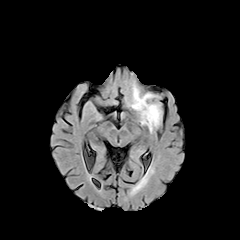
FLAIR MR.
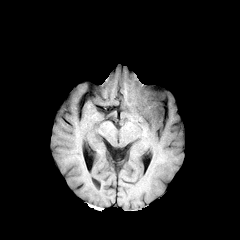
T1-weighted MRI.
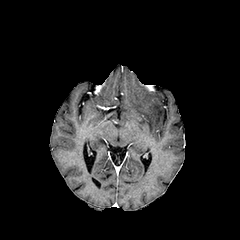
Post-contrast T1-weighted MR image.
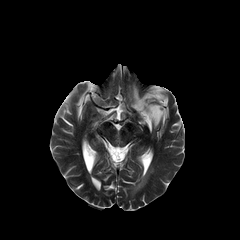
T2-weighted magnetic resonance.
240x240 px. Axial view.
Annotated regions:
• peritumoral edema: (x1=131, y1=86, x2=162, y2=131)